Axial plane; Brain
FLAIR MR image.
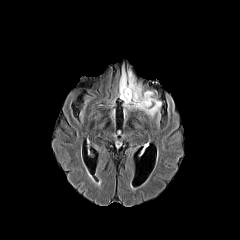
T1-weighted MRI.
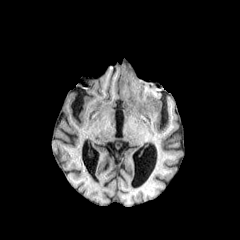
Post-contrast T1-weighted magnetic resonance.
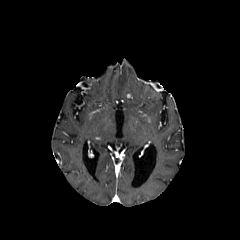
T2-weighted MRI.
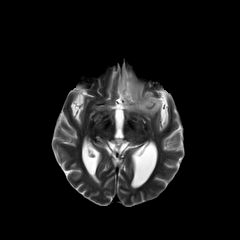
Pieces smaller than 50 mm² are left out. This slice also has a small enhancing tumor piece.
peritumoral_edema:
  - <box>118,65,161,120</box>